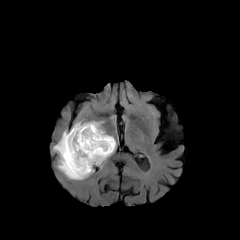
FLAIR MR image.
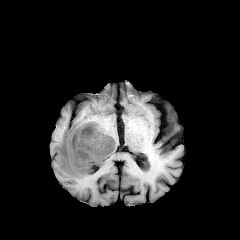
Same slice, T1-weighted MRI.
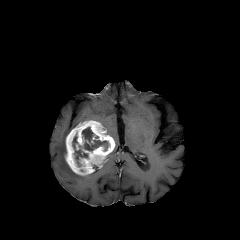
Post-contrast T1-weighted MR image.
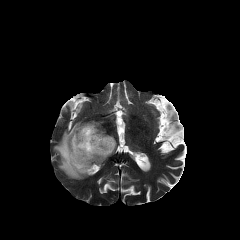
T2-weighted MRI of the same slice.
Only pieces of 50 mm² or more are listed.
{"peritumoral_edema": ["[x1=53, y1=130, x2=91, y2=180]"], "necrotic_tumor_core": ["[x1=73, y1=127, x2=110, y2=159]"], "enhancing_tumor": ["[x1=65, y1=120, x2=115, y2=175]"]}